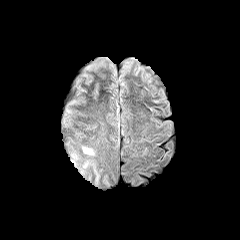
FLAIR MRI.
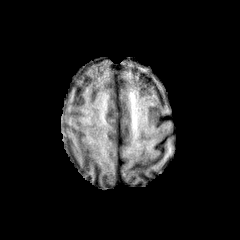
T1-weighted MR.
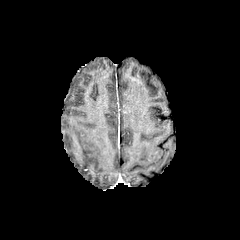
Post-contrast T1-weighted MR image of the same slice.
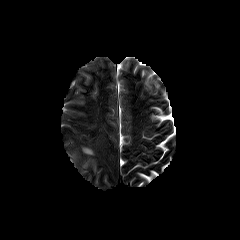
T2-weighted MR of the same slice.
240x240.
peritumoral edema: <box>83,147,93,154</box>